Slice 93 of 155; Brain; Axial view
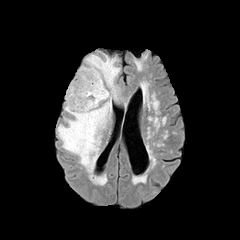
FLAIR magnetic resonance.
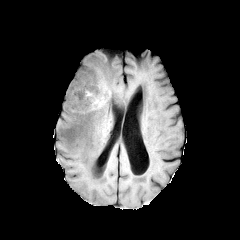
T1-weighted MR.
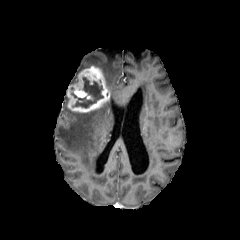
Post-contrast T1-weighted magnetic resonance.
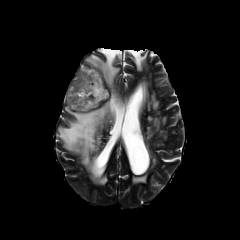
T2-weighted magnetic resonance.
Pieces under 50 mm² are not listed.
The largest peritumoral edema region lies within l=57, t=54, r=120, b=172. The largest necrotic tumor core region lies within l=73, t=77, r=103, b=107. The largest enhancing tumor region is bounded by l=66, t=66, r=110, b=112.